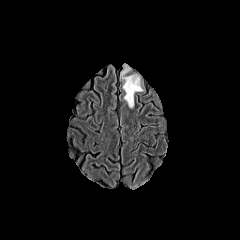
FLAIR MR.
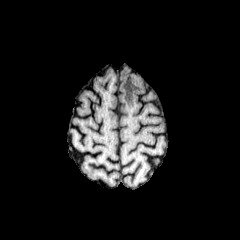
T1-weighted MRI of the same slice.
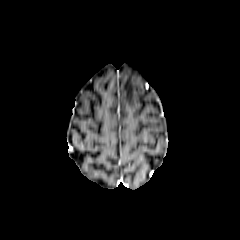
Post-contrast T1-weighted MRI.
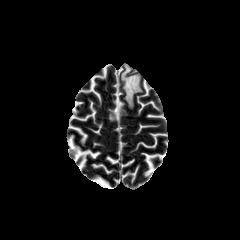
T2-weighted MR of the same slice.
Brain; 240x240
Annotated regions:
- peritumoral edema: [121, 65, 142, 107]